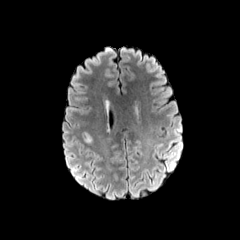
FLAIR magnetic resonance.
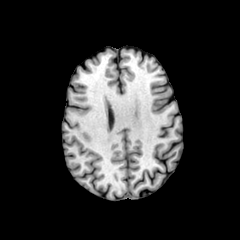
T1-weighted MRI.
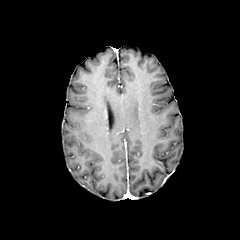
Same slice, post-contrast T1-weighted MRI.
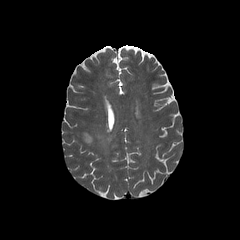
T2-weighted MR of the same slice.
240x240.
The peritumoral edema lies within (84, 133, 93, 143).